Brain.
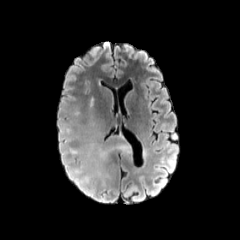
FLAIR MR image.
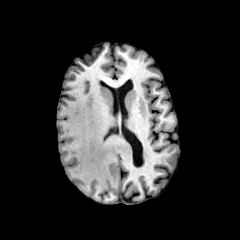
Same slice, T1-weighted magnetic resonance.
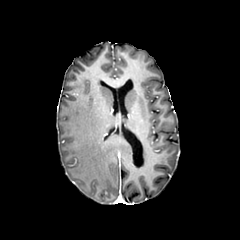
Post-contrast T1-weighted MR image.
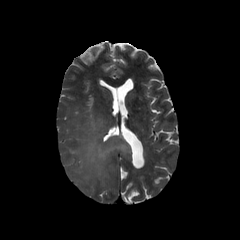
Same slice, T2-weighted MRI.
The peritumoral edema is located at l=71, t=122, r=130, b=184.